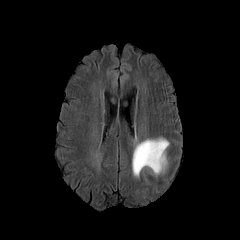
FLAIR MR.
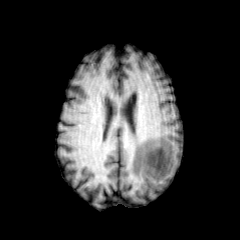
Same slice, T1-weighted MRI.
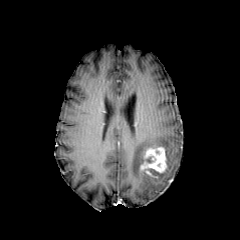
Post-contrast T1-weighted MR image of the same slice.
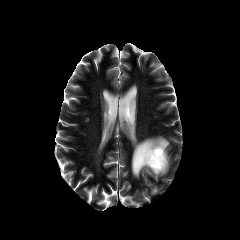
T2-weighted magnetic resonance.
240x240 px, Axial slice
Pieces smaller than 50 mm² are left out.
The 2 largest peritumoral edema regions are located at bbox(149, 169, 165, 176); bbox(132, 137, 169, 177). The enhancing tumor is bounded by bbox(140, 146, 167, 174).